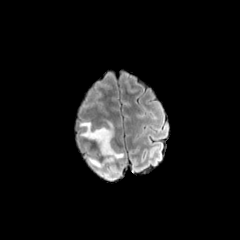
FLAIR MR.
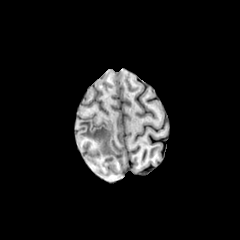
T1-weighted MR image.
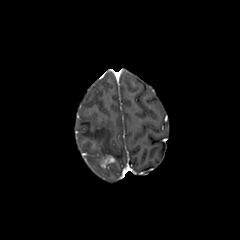
Post-contrast T1-weighted MR.
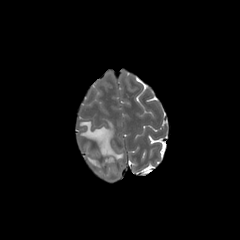
T2-weighted magnetic resonance.
Brain, Axial plane
The enhancing tumor appears at l=100, t=155, r=115, b=168. 2 peritumoral edema regions are bounded by l=79, t=120, r=123, b=160; l=87, t=157, r=118, b=178.